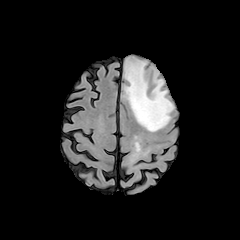
FLAIR MRI.
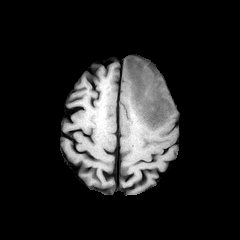
T1-weighted MR of the same slice.
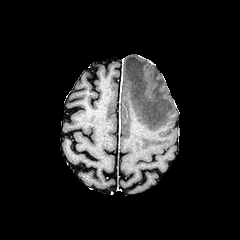
Post-contrast T1-weighted MR.
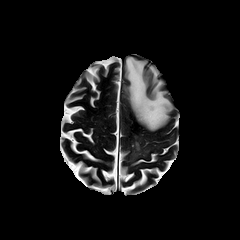
T2-weighted magnetic resonance.
peritumoral edema — {"x1": 124, "y1": 57, "x2": 173, "y2": 131}